FLAIR magnetic resonance.
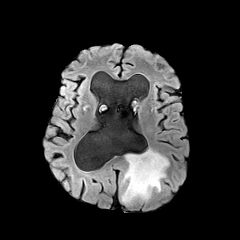
T1-weighted magnetic resonance.
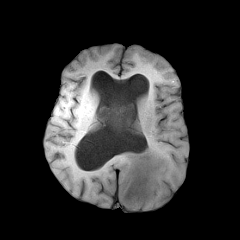
Post-contrast T1-weighted MRI.
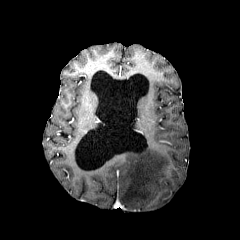
T2-weighted MR image.
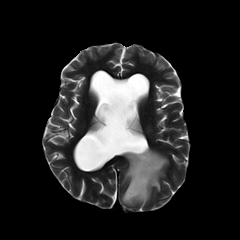
240x240 px | Axial slice
The peritumoral edema is bounded by 120:148:169:205.